FLAIR MR image.
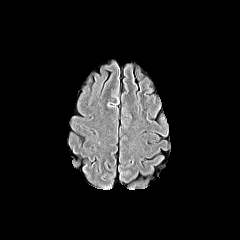
T1-weighted magnetic resonance.
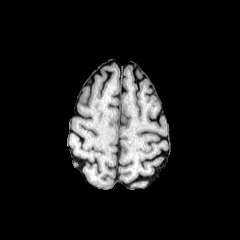
Post-contrast T1-weighted MR image.
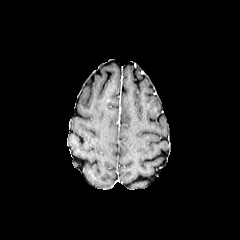
T2-weighted MR.
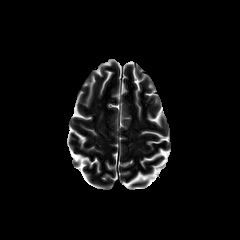
Axial slice
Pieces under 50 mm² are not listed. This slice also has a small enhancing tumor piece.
Segmented structures:
- peritumoral edema: 111 86 117 97